FLAIR magnetic resonance.
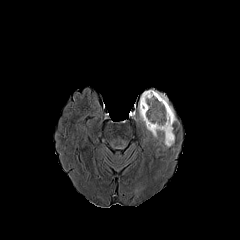
T1-weighted magnetic resonance.
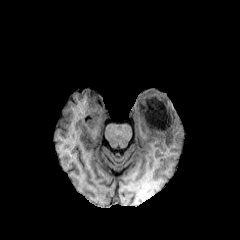
Post-contrast T1-weighted MR image.
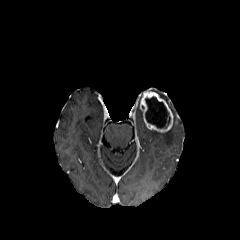
T2-weighted MR image.
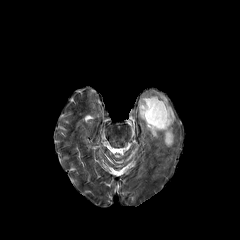
Axial plane. 240x240 px.
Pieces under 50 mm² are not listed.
The 3 largest peritumoral edema regions appear at <bbox>146, 127, 157, 138</bbox>, <bbox>156, 92, 177, 121</bbox>, <bbox>162, 126, 174, 147</bbox>. The enhancing tumor is located at <bbox>140, 90, 173, 132</bbox>. The largest necrotic tumor core region is located at <bbox>145, 96, 170, 128</bbox>.